FLAIR MR.
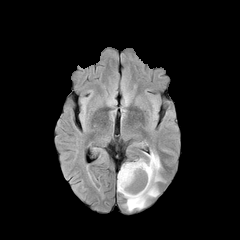
T1-weighted MRI.
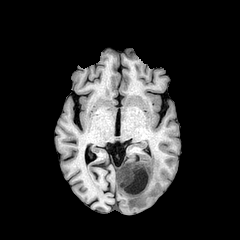
Post-contrast T1-weighted MRI.
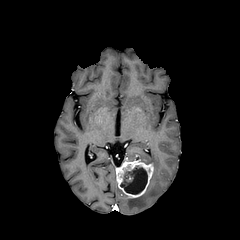
T2-weighted MR.
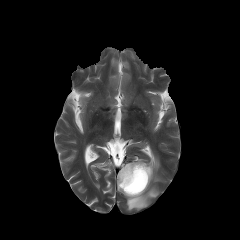
Image size 240x240, Head, Axial slice
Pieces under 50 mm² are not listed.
enhancing tumor: [x1=117, y1=159, x2=153, y2=198] | necrotic tumor core: [x1=120, y1=166, x2=147, y2=194] | peritumoral edema: [x1=117, y1=152, x2=162, y2=211]